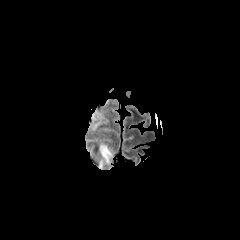
FLAIR magnetic resonance.
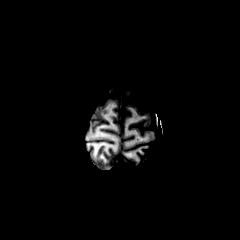
T1-weighted MRI of the same slice.
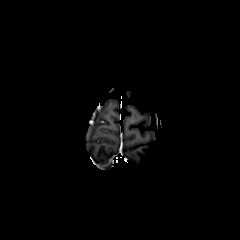
Same slice, post-contrast T1-weighted MR image.
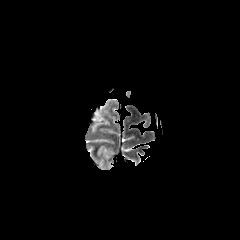
T2-weighted MRI of the same slice.
Brain; Axial slice; 240x240
The peritumoral edema is bounded by (101,145,110,162).